Image width 240 mm, 1.00 mm slice spacing
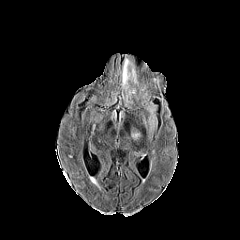
FLAIR magnetic resonance.
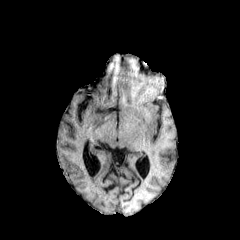
Same slice, T1-weighted MR image.
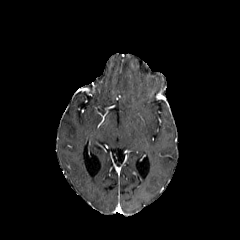
Post-contrast T1-weighted MRI.
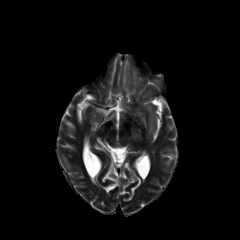
T2-weighted MRI.
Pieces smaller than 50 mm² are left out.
The 2 largest peritumoral edema regions appear at bbox(122, 59, 129, 90); bbox(132, 67, 137, 84).